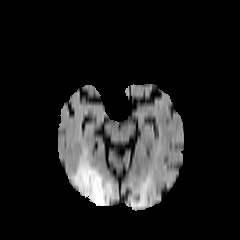
FLAIR MRI.
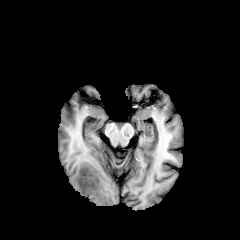
Same slice, T1-weighted MRI.
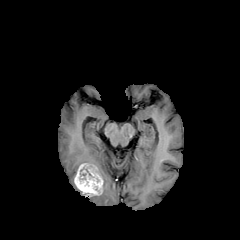
Post-contrast T1-weighted MRI of the same slice.
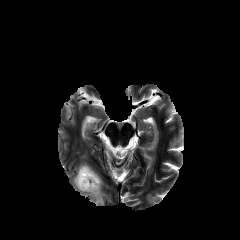
Same slice, T2-weighted MR image.
240x240 px
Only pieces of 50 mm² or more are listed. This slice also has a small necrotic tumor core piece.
{
  "peritumoral_edema": [
    {"x1": 89, "y1": 178, "x2": 112, "y2": 205},
    {"x1": 71, "y1": 152, "x2": 89, "y2": 184}
  ],
  "enhancing_tumor": [
    {"x1": 74, "y1": 163, "x2": 103, "y2": 197}
  ]
}